FLAIR MR image.
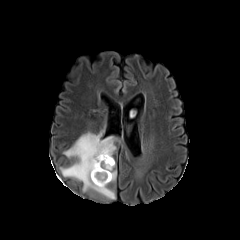
T1-weighted MR image.
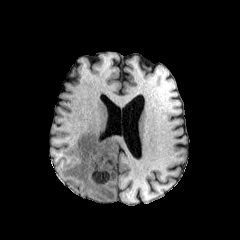
Post-contrast T1-weighted magnetic resonance.
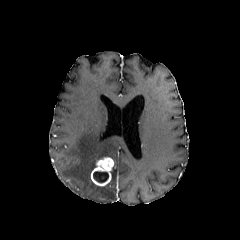
T2-weighted MR.
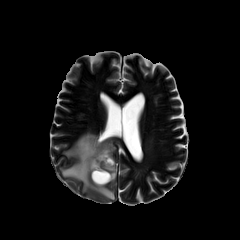
Brain.
enhancing tumor: (left=90, top=157, right=114, bottom=186) | necrotic tumor core: (left=93, top=171, right=108, bottom=182) | peritumoral edema: (left=110, top=170, right=116, bottom=182), (left=60, top=132, right=120, bottom=199)